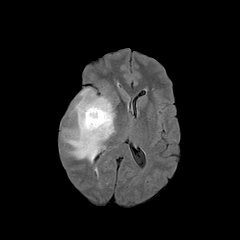
FLAIR magnetic resonance.
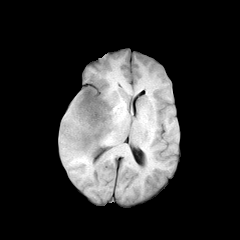
T1-weighted MRI of the same slice.
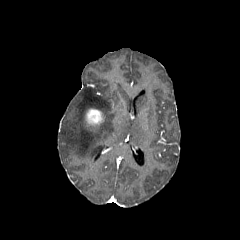
Post-contrast T1-weighted MR of the same slice.
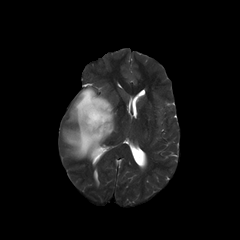
T2-weighted MR image.
Image size 240x240; Head
The peritumoral edema is located at (left=62, top=88, right=114, bottom=161). The enhancing tumor is bounded by (left=84, top=108, right=105, bottom=128).